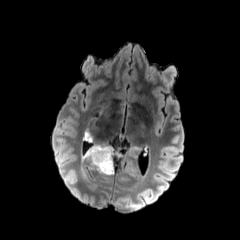
FLAIR MRI.
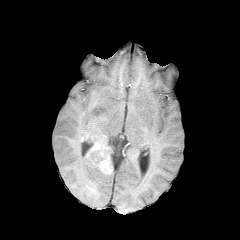
T1-weighted MR image of the same slice.
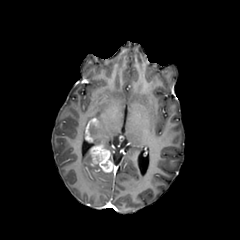
Same slice, post-contrast T1-weighted MR image.
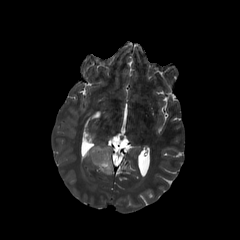
T2-weighted MR.
Axial slice. 240x240. Brain.
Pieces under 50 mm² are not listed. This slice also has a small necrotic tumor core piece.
enhancing tumor — 89, 144, 113, 172; 85, 130, 92, 142
peritumoral edema — 98, 141, 113, 161; 81, 168, 95, 188; 92, 165, 113, 174